FLAIR magnetic resonance.
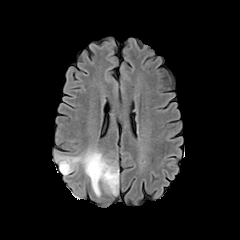
T1-weighted MR image.
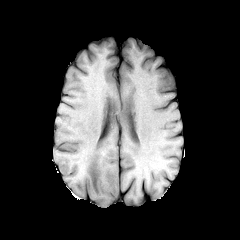
Post-contrast T1-weighted MR image.
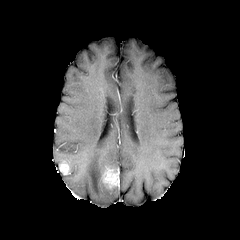
T2-weighted MR.
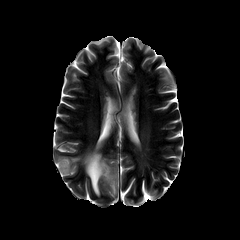
Image size 240x240
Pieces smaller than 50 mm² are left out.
Segmented structures:
- enhancing tumor: box(59, 161, 69, 174); box(102, 167, 117, 188)
- peritumoral edema: box(103, 183, 117, 195); box(56, 149, 117, 196)